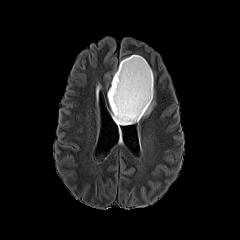
FLAIR MR.
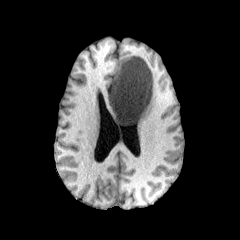
Same slice, T1-weighted MRI.
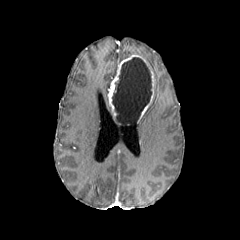
Post-contrast T1-weighted MR.
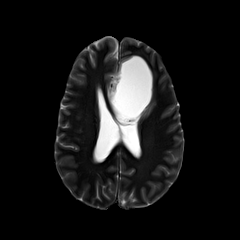
T2-weighted MRI.
Brain.
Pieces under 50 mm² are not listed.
* peritumoral edema: <bbox>142, 98, 154, 117</bbox>
* enhancing tumor: <bbox>108, 55, 154, 121</bbox>
* necrotic tumor core: <bbox>112, 57, 152, 124</bbox>